FLAIR MRI.
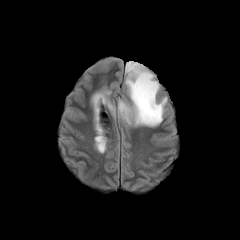
T1-weighted MRI.
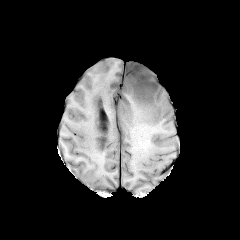
Post-contrast T1-weighted MR.
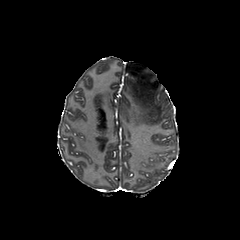
T2-weighted magnetic resonance.
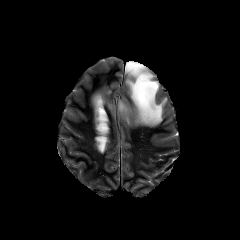
Axial slice. 240x240. Head.
peritumoral edema: left=92, top=91, right=114, bottom=113; left=118, top=61, right=166, bottom=126